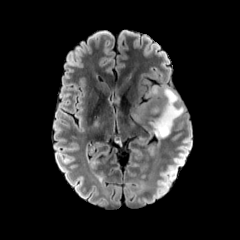
FLAIR MRI.
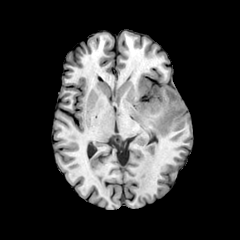
T1-weighted MRI.
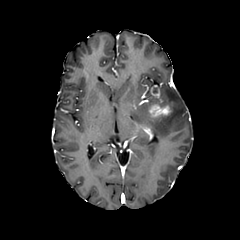
Post-contrast T1-weighted MR image.
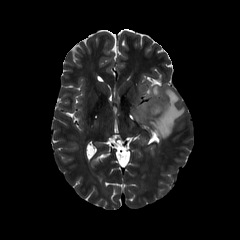
T2-weighted magnetic resonance.
Axial view; 240x240
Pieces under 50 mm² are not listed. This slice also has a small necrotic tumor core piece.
Segmented structures:
- peritumoral edema: [135,85,184,138]
- enhancing tumor: [148,101,171,116], [150,87,159,98]